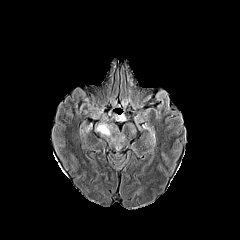
FLAIR magnetic resonance.
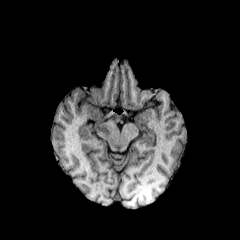
T1-weighted MR image.
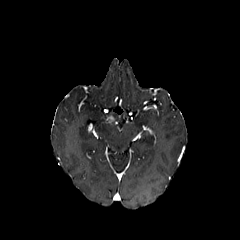
Post-contrast T1-weighted MR.
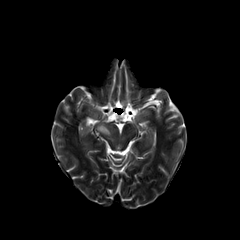
T2-weighted MRI.
Axial plane
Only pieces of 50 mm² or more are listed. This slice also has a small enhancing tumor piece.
peritumoral edema: (96,123,112,136)